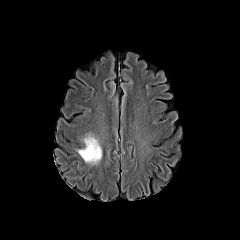
FLAIR magnetic resonance.
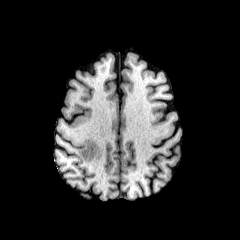
T1-weighted magnetic resonance.
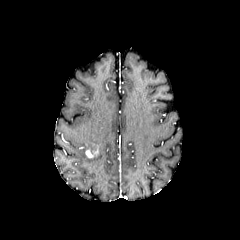
Post-contrast T1-weighted magnetic resonance of the same slice.
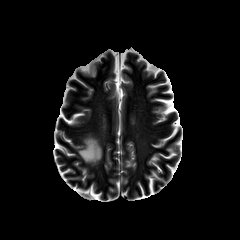
Same slice, T2-weighted MRI.
Image size 240x240. Brain.
enhancing tumor = l=85, t=148, r=94, b=158
peritumoral edema = l=77, t=133, r=102, b=164